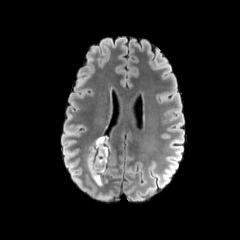
FLAIR MR image.
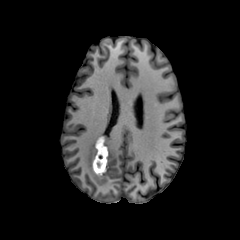
T1-weighted magnetic resonance.
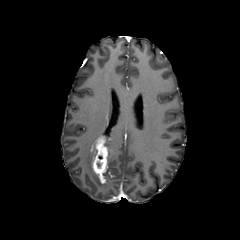
Same slice, post-contrast T1-weighted magnetic resonance.
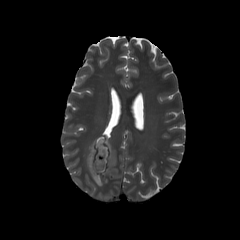
T2-weighted magnetic resonance.
240x240
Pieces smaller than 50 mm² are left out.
Segmented structures:
* necrotic tumor core: box=[96, 155, 103, 169]
* enhancing tumor: box=[90, 136, 112, 182]
* peritumoral edema: box=[87, 134, 115, 186]